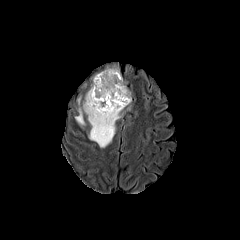
FLAIR MR.
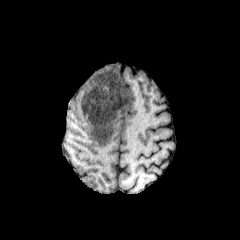
T1-weighted MR image.
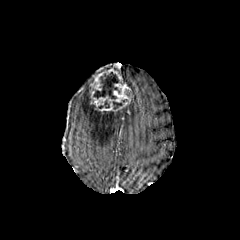
Post-contrast T1-weighted MR of the same slice.
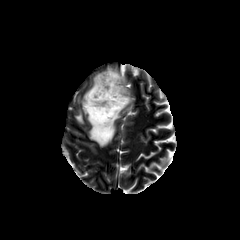
T2-weighted MR.
Image size 240x240
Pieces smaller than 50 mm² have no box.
The 3 largest necrotic tumor core regions are located at left=98, top=100, right=109, bottom=108; left=93, top=72, right=119, bottom=99; left=113, top=101, right=122, bottom=109. The 2 largest peritumoral edema regions appear at left=83, top=91, right=123, bottom=147; left=75, top=108, right=84, bottom=124. The enhancing tumor is bounded by left=89, top=67, right=131, bottom=111.